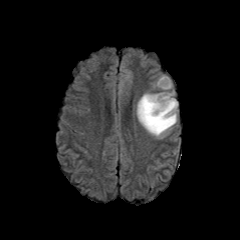
FLAIR MR image.
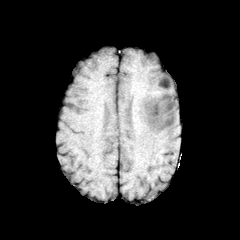
T1-weighted MR image.
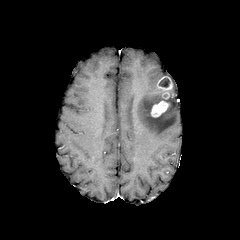
Post-contrast T1-weighted magnetic resonance of the same slice.
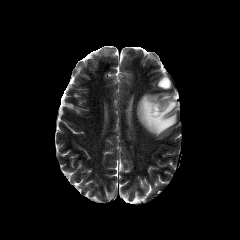
T2-weighted MRI of the same slice.
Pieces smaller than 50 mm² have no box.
necrotic tumor core: box=[159, 78, 169, 87] | peritumoral edema: box=[136, 91, 177, 138] | enhancing tumor: box=[151, 100, 169, 117]; box=[157, 76, 172, 99]